FLAIR MR.
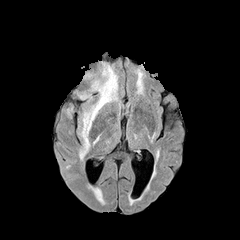
T1-weighted magnetic resonance.
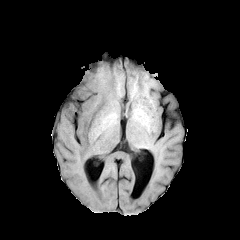
Post-contrast T1-weighted MR image.
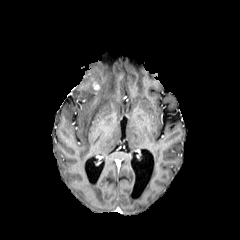
T2-weighted MR.
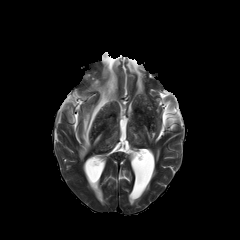
Head.
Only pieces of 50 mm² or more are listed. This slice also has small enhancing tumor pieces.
The largest peritumoral edema region is located at region(78, 62, 117, 157).